FLAIR MR.
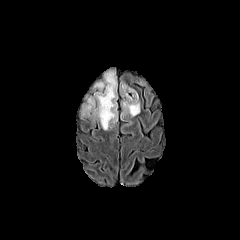
T1-weighted magnetic resonance.
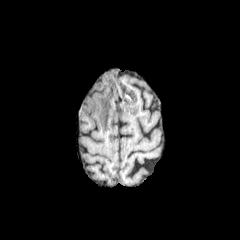
Post-contrast T1-weighted MR.
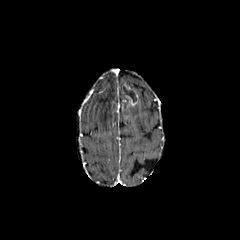
T2-weighted MR.
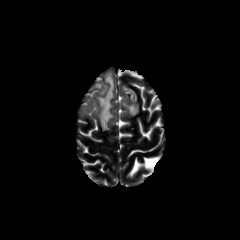
Head
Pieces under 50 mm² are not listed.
The 2 largest peritumoral edema regions appear at left=83, top=72, right=117, bottom=130; left=122, top=100, right=139, bottom=116. The necrotic tumor core lies within left=123, top=87, right=136, bottom=102. The enhancing tumor is bounded by left=123, top=84, right=138, bottom=106.